Image width 240 mm. Brain. Image size 240x240.
FLAIR MR.
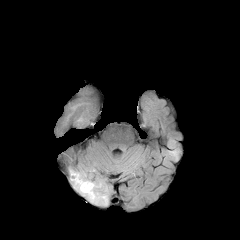
T1-weighted MRI.
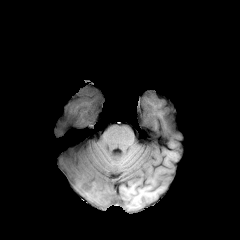
Post-contrast T1-weighted MR image.
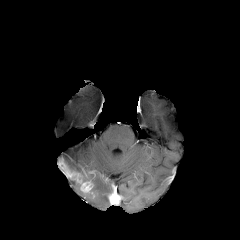
T2-weighted MR image.
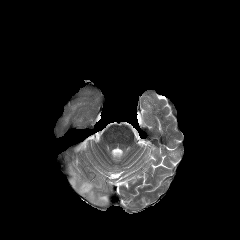
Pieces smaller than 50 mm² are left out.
Segmented structures:
* peritumoral edema: <bbox>70, 171, 108, 205</bbox>
* enhancing tumor: <bbox>66, 169, 93, 193</bbox>